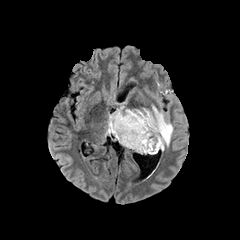
FLAIR MRI.
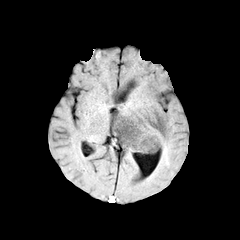
Same slice, T1-weighted MR.
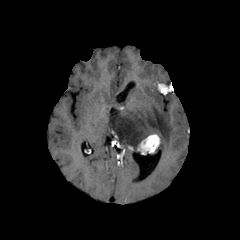
Post-contrast T1-weighted magnetic resonance of the same slice.
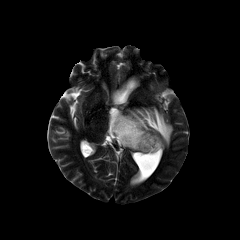
T2-weighted MR image.
Image size 240x240.
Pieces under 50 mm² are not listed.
Findings:
• enhancing tumor: bbox=[137, 134, 160, 154]
• peritumoral edema: bbox=[105, 106, 173, 153]